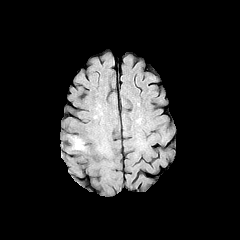
FLAIR MRI.
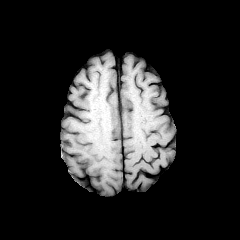
Same slice, T1-weighted MR.
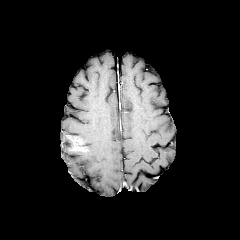
Post-contrast T1-weighted MRI.
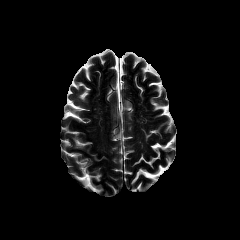
T2-weighted MRI of the same slice.
240x240 | Head
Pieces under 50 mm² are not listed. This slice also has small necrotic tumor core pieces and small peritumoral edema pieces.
enhancing tumor = 74, 138, 82, 149